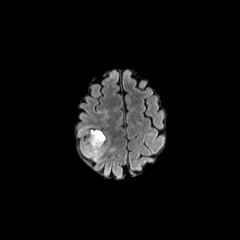
FLAIR MR.
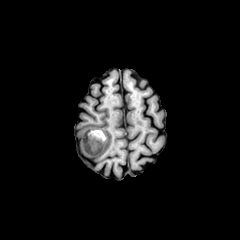
T1-weighted MR image.
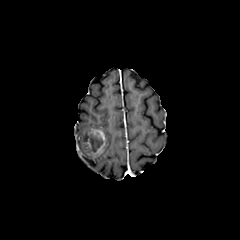
Same slice, post-contrast T1-weighted MR.
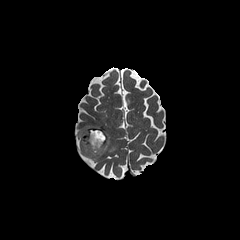
T2-weighted MR image.
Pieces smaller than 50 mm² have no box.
enhancing tumor: left=83, top=129, right=107, bottom=157 | necrotic tumor core: left=88, top=133, right=103, bottom=152 | peritumoral edema: left=81, top=138, right=108, bottom=160; left=79, top=125, right=91, bottom=135